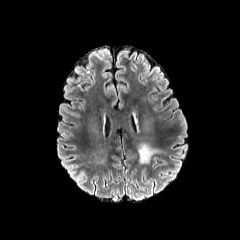
FLAIR MR.
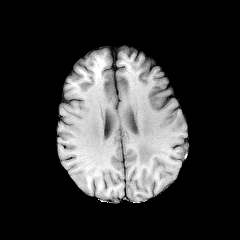
T1-weighted magnetic resonance.
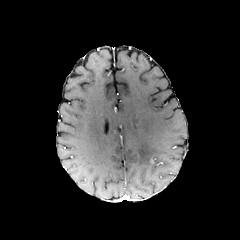
Same slice, post-contrast T1-weighted MRI.
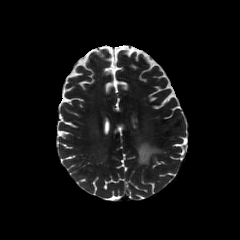
Same slice, T2-weighted magnetic resonance.
240x240. Head.
The peritumoral edema lies within 138,143,158,163.